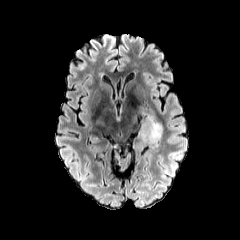
FLAIR MRI.
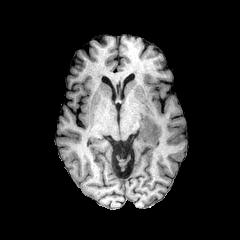
Same slice, T1-weighted MRI.
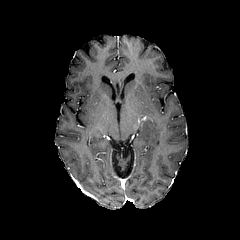
Post-contrast T1-weighted MR.
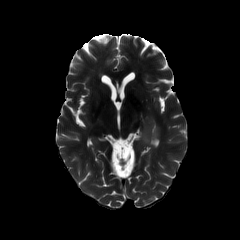
T2-weighted MR of the same slice.
Axial slice; Brain
peritumoral edema: x1=139 y1=112 x2=162 y2=143